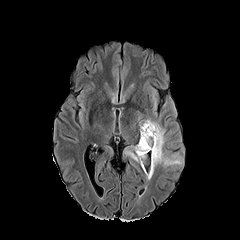
FLAIR MRI.
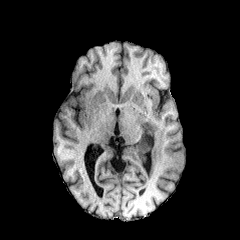
T1-weighted MR.
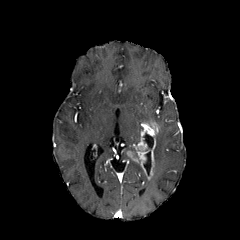
Post-contrast T1-weighted magnetic resonance of the same slice.
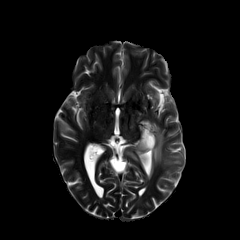
Same slice, T2-weighted MRI.
Image size 240x240; Brain; Axial slice
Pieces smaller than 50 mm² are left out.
enhancing tumor = box(127, 121, 159, 179)
necrotic tumor core = box(143, 133, 153, 149)
peritumoral edema = box(154, 127, 180, 165)